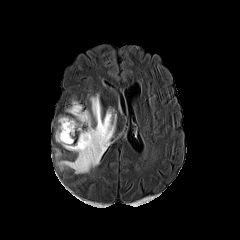
FLAIR MR image.
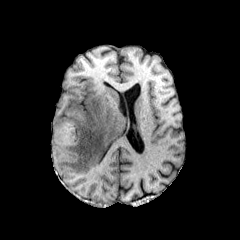
Same slice, T1-weighted MR image.
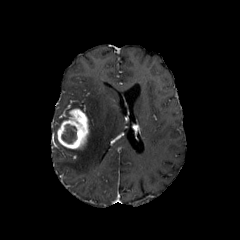
Post-contrast T1-weighted MRI.
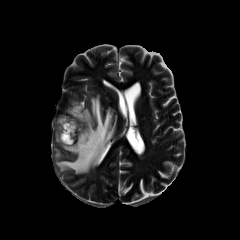
T2-weighted MR image.
Brain
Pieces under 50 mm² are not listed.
peritumoral edema — x1=55 y1=94 x2=116 y2=173, x1=67 y1=101 x2=82 y2=112
enhancing tumor — x1=57 y1=108 x2=88 y2=149
necrotic tumor core — x1=61 y1=124 x2=75 y2=143